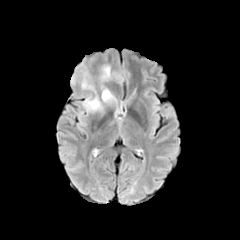
FLAIR MR.
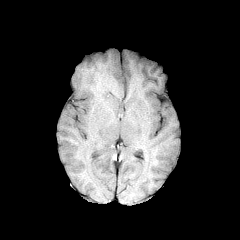
Same slice, T1-weighted MRI.
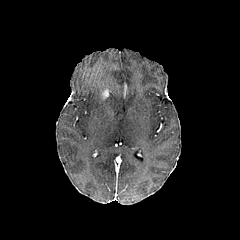
Post-contrast T1-weighted magnetic resonance.
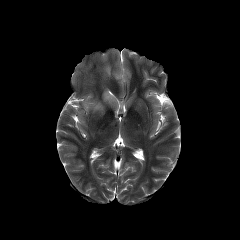
T2-weighted MR of the same slice.
Axial slice. Head.
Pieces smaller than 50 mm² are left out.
- enhancing tumor: region(102, 89, 108, 98)
- peritumoral edema: region(88, 100, 99, 109)